Axial slice; Slice 92/155
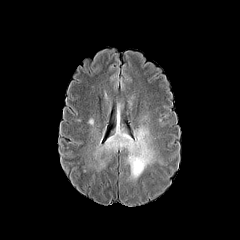
FLAIR MR image.
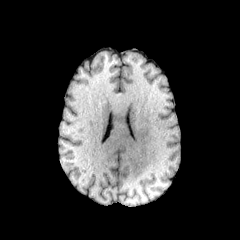
T1-weighted MR image of the same slice.
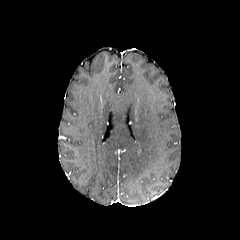
Same slice, post-contrast T1-weighted MR.
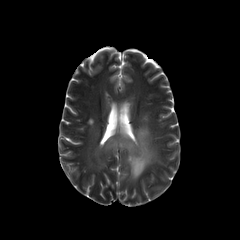
T2-weighted MR.
<segmentation>
  <peritumoral_edema>[x1=127, y1=91, x2=136, y2=113], [x1=102, y1=88, x2=112, y2=115], [x1=85, y1=111, x2=164, y2=181]</peritumoral_edema>
</segmentation>